Head, Axial view, Image size 240x240
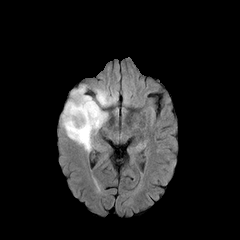
FLAIR MR.
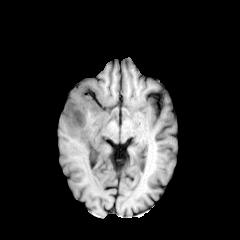
T1-weighted MR.
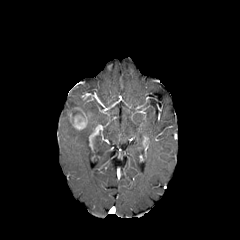
Post-contrast T1-weighted MR image.
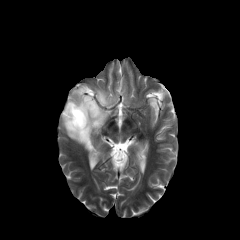
T2-weighted MRI of the same slice.
The peritumoral edema is bounded by 61 85 117 152. The enhancing tumor is bounded by 68 107 87 130.